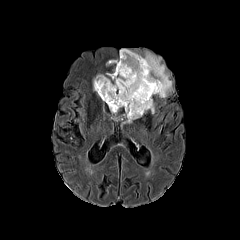
FLAIR MR image.
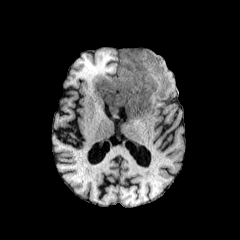
T1-weighted MRI of the same slice.
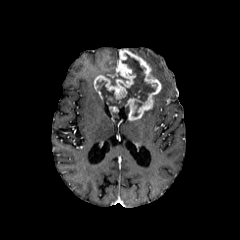
Post-contrast T1-weighted MRI.
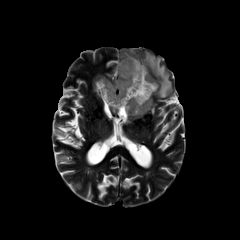
Same slice, T2-weighted MR image.
Brain
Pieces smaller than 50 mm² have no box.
enhancing_tumor:
  - (109,106,118,112)
  - (93,49,161,120)
necrotic_tumor_core:
  - (97,54,155,108)
  - (133,101,142,116)
peritumoral_edema:
  - (120,105,132,123)
  - (107,73,126,85)
  - (142,52,172,97)